FLAIR magnetic resonance.
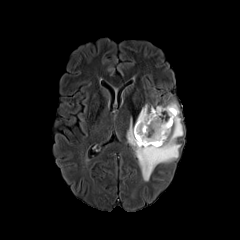
T1-weighted MRI.
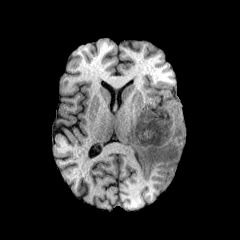
Post-contrast T1-weighted magnetic resonance.
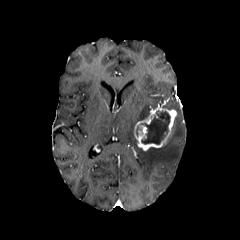
T2-weighted MR.
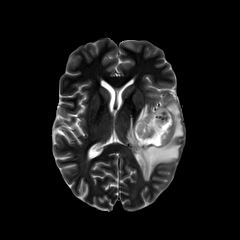
Brain; Axial plane
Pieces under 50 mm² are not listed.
<segmentation>
  <necrotic_tumor_core><bbox>141, 111, 170, 144</bbox></necrotic_tumor_core>
  <enhancing_tumor><bbox>134, 106, 176, 150</bbox></enhancing_tumor>
  <peritumoral_edema><bbox>126, 101, 183, 181</bbox>, <bbox>136, 104, 149, 122</bbox></peritumoral_edema>
</segmentation>